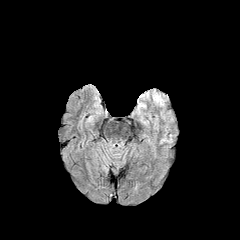
FLAIR magnetic resonance.
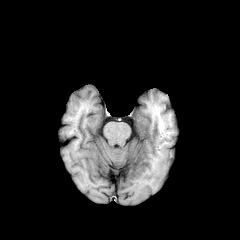
Same slice, T1-weighted MRI.
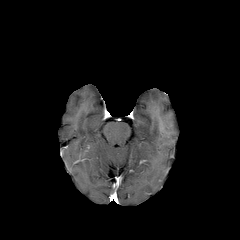
Post-contrast T1-weighted MR.
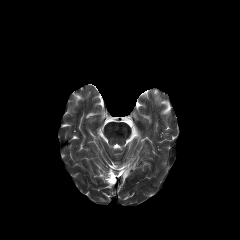
T2-weighted magnetic resonance.
The peritumoral edema appears at (x1=154, y1=93, x2=162, y2=103).